240x240 px.
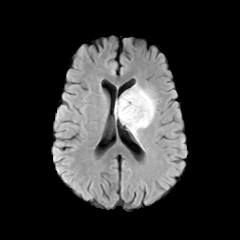
FLAIR MRI.
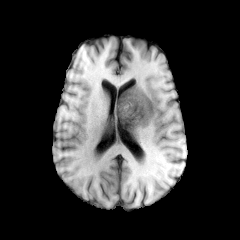
Same slice, T1-weighted MRI.
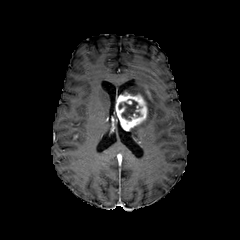
Post-contrast T1-weighted MRI of the same slice.
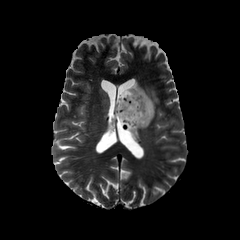
T2-weighted MRI of the same slice.
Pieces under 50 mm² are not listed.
peritumoral edema: bounding box <bbox>125, 83, 156, 140</bbox>
necrotic tumor core: bounding box <bbox>122, 100, 137, 119</bbox>
enhancing tumor: bounding box <bbox>115, 92, 147, 130</bbox>